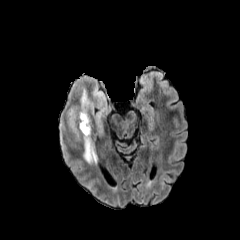
FLAIR MR.
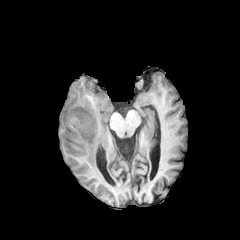
T1-weighted magnetic resonance of the same slice.
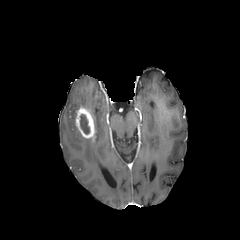
Post-contrast T1-weighted MR image of the same slice.
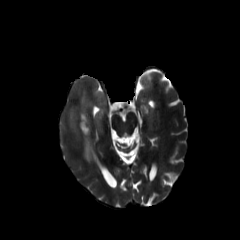
T2-weighted magnetic resonance.
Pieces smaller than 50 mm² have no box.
{
  "enhancing_tumor": [
    "(74,106,95,140)"
  ],
  "necrotic_tumor_core": [
    "(80,114,89,133)"
  ],
  "peritumoral_edema": [
    "(79,86,114,166)",
    "(67,102,83,140)"
  ]
}